Axial view | Image covers 240 mm x 240 mm | Slice 76/155 | Image size 240x240
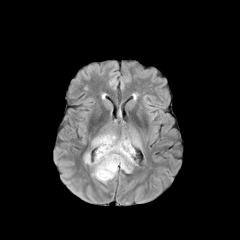
FLAIR magnetic resonance.
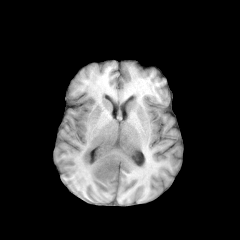
T1-weighted MR.
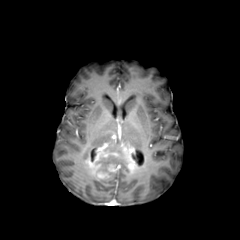
Same slice, post-contrast T1-weighted MR.
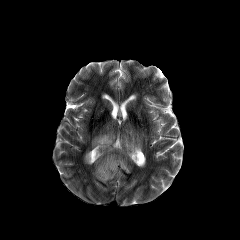
T2-weighted magnetic resonance.
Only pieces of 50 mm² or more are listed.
enhancing tumor: left=87, top=135, right=135, bottom=179
peritumoral edema: left=92, top=133, right=113, bottom=147; left=119, top=137, right=141, bottom=148; left=99, top=172, right=116, bottom=183
necrotic tumor core: left=96, top=142, right=128, bottom=171